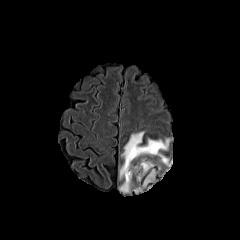
FLAIR MR image.
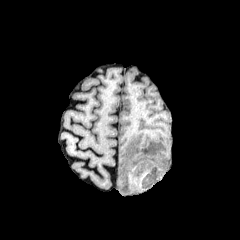
T1-weighted MR image.
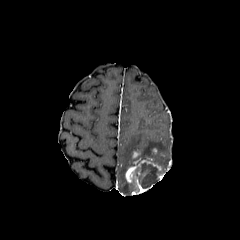
Post-contrast T1-weighted MR.
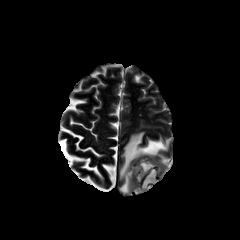
T2-weighted MR image.
Head | Axial view
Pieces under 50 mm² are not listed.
The peritumoral edema appears at bbox=[119, 131, 170, 193]. The 2 largest enhancing tumor regions appear at bbox=[125, 157, 166, 193]; bbox=[132, 150, 140, 158]. The necrotic tumor core appears at bbox=[138, 163, 158, 188].